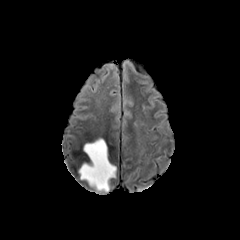
FLAIR MR image.
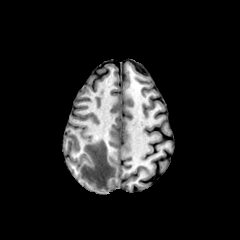
Same slice, T1-weighted MR.
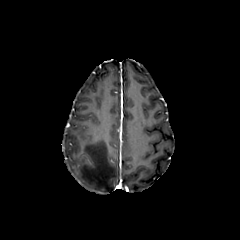
Same slice, post-contrast T1-weighted MR image.
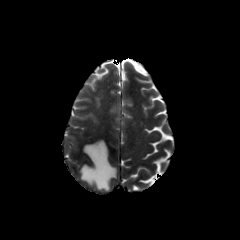
T2-weighted MRI.
Head
The peritumoral edema is at l=79, t=139, r=116, b=192.